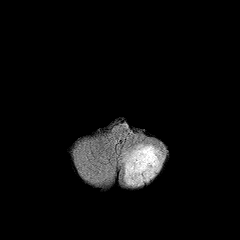
FLAIR magnetic resonance.
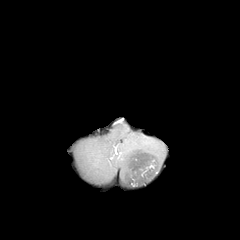
T1-weighted MR.
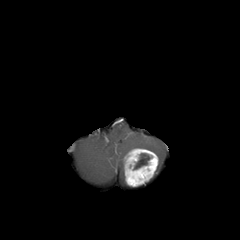
Post-contrast T1-weighted MR image of the same slice.
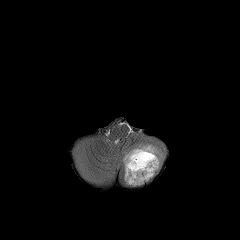
T2-weighted MRI.
Axial view.
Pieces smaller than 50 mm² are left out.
peritumoral_edema:
  - (119,140,165,174)
enhancing_tumor:
  - (123,148,158,186)
necrotic_tumor_core:
  - (134,153,151,169)